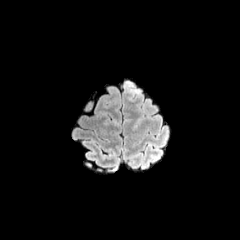
FLAIR magnetic resonance.
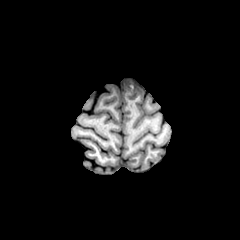
T1-weighted magnetic resonance.
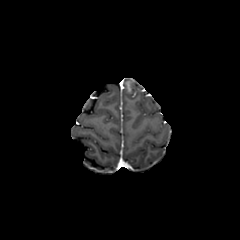
Post-contrast T1-weighted magnetic resonance.
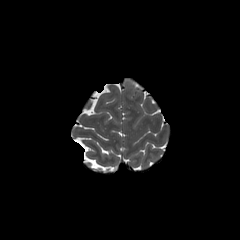
T2-weighted MR.
Axial slice | Brain
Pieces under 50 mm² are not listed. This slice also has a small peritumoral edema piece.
The enhancing tumor is located at <bbox>125, 81, 132, 92</bbox>.